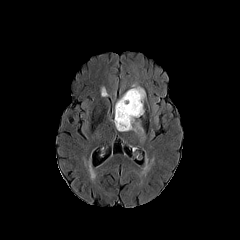
FLAIR MR image.
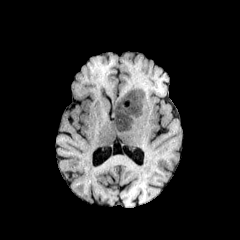
T1-weighted MR image.
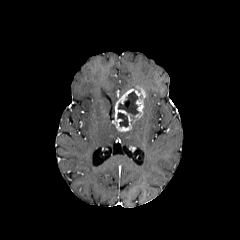
Same slice, post-contrast T1-weighted MR.
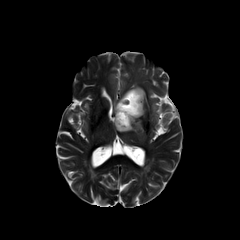
Same slice, T2-weighted MR image.
Head
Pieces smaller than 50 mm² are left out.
necrotic tumor core: l=117, t=112, r=128, b=127; l=118, t=91, r=138, b=119 | enhancing tumor: l=113, t=87, r=145, b=131 | peritumoral edema: l=132, t=120, r=144, b=139